Slice 43/155
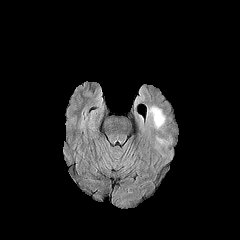
FLAIR MR image.
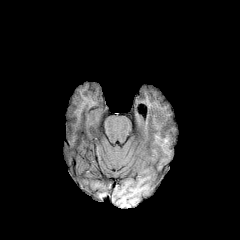
T1-weighted magnetic resonance.
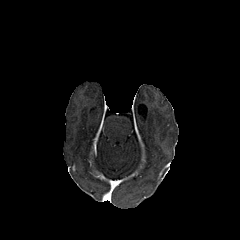
Same slice, post-contrast T1-weighted magnetic resonance.
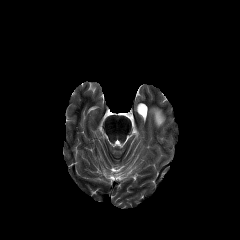
T2-weighted magnetic resonance.
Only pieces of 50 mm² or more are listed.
• peritumoral edema: 148 107 165 127